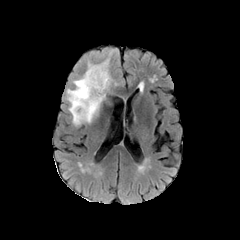
FLAIR magnetic resonance.
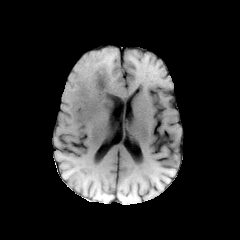
T1-weighted MR of the same slice.
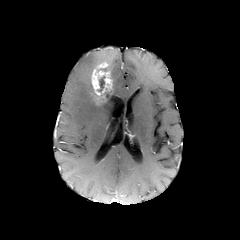
Post-contrast T1-weighted MRI.
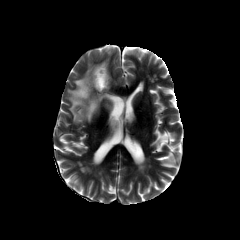
T2-weighted MRI.
240x240
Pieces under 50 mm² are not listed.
enhancing tumor: bounding box box=[91, 63, 111, 103]
necrotic tumor core: bounding box box=[98, 76, 104, 91]
peritumoral edema: bounding box box=[67, 62, 104, 125]